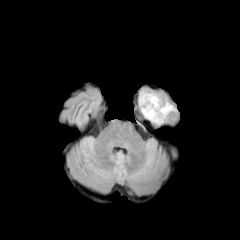
FLAIR MR image.
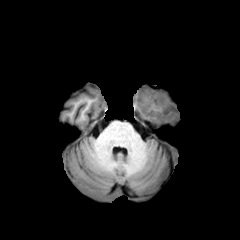
T1-weighted MR image.
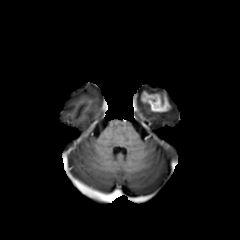
Post-contrast T1-weighted MR image.
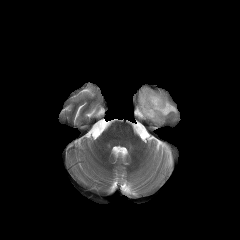
T2-weighted magnetic resonance.
Head; Axial view
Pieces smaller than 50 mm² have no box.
Findings:
* peritumoral edema: {"x1": 138, "y1": 89, "x2": 176, "y2": 124}
* enhancing tumor: {"x1": 141, "y1": 91, "x2": 170, "y2": 112}